Axial plane
FLAIR MR image.
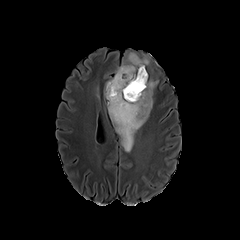
T1-weighted MR image.
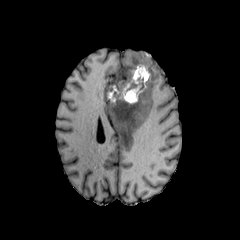
Post-contrast T1-weighted MR.
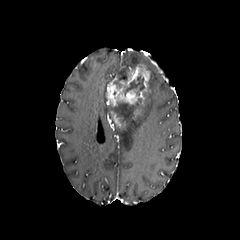
T2-weighted magnetic resonance.
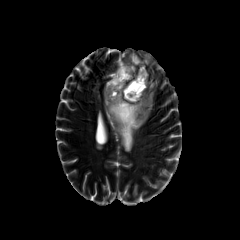
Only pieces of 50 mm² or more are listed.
{"peritumoral_edema": ["[103,78,113,98]", "[108,78,159,152]", "[117,53,149,72]"], "enhancing_tumor": ["[110,111,125,127]", "[106,64,148,118]"], "necrotic_tumor_core": ["[124,74,144,96]", "[112,102,139,121]", "[114,67,128,87]"]}